FLAIR MR image.
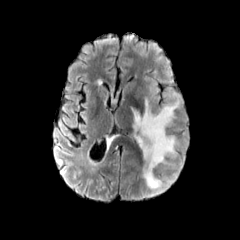
T1-weighted magnetic resonance.
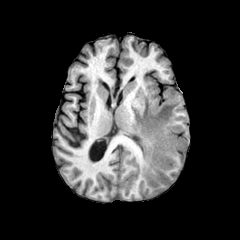
Post-contrast T1-weighted magnetic resonance.
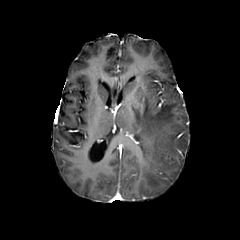
T2-weighted MRI.
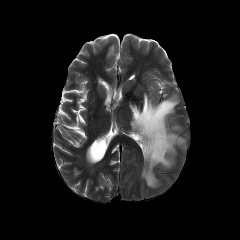
Brain, Axial view, 240x240
peritumoral edema: bounding box (130,98,182,188)